240x240, Image covers 240 mm x 240 mm
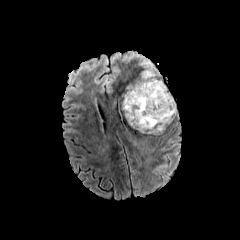
FLAIR magnetic resonance.
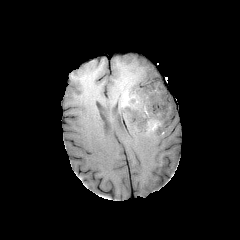
T1-weighted MR image.
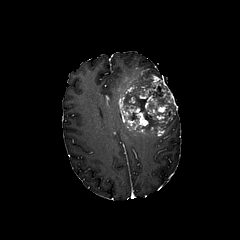
Post-contrast T1-weighted MRI.
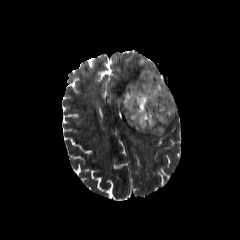
T2-weighted MR of the same slice.
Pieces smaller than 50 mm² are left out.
necrotic tumor core: bounding box 128 112 138 120, 124 84 175 128
enhancing tumor: bounding box 145 95 167 118, 119 73 174 135
peritumoral edema: bounding box 140 60 159 76